FLAIR magnetic resonance.
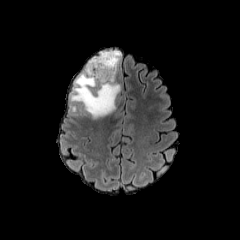
T1-weighted MR.
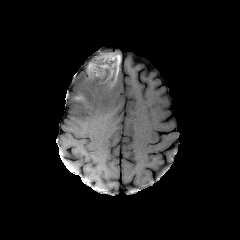
Post-contrast T1-weighted MR image.
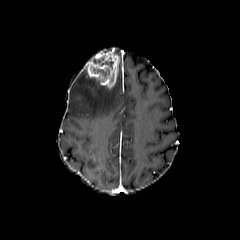
T2-weighted magnetic resonance.
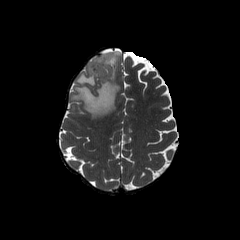
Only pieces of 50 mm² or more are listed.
necrotic_tumor_core:
  - {"x1": 91, "y1": 66, "x2": 106, "y2": 75}
peritumoral_edema:
  - {"x1": 70, "y1": 69, "x2": 120, "y2": 119}
enhancing_tumor:
  - {"x1": 85, "y1": 50, "x2": 119, "y2": 89}